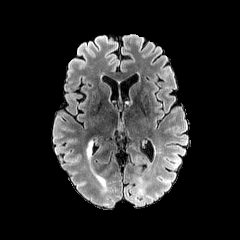
FLAIR MRI.
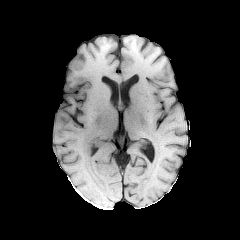
Same slice, T1-weighted magnetic resonance.
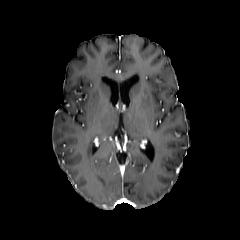
Post-contrast T1-weighted magnetic resonance of the same slice.
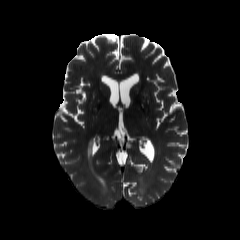
Same slice, T2-weighted MR image.
240x240 px
Annotated regions:
* peritumoral edema: box(87, 141, 92, 160)